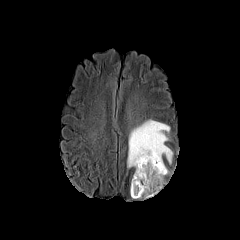
FLAIR magnetic resonance.
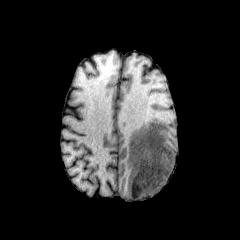
Same slice, T1-weighted MR.
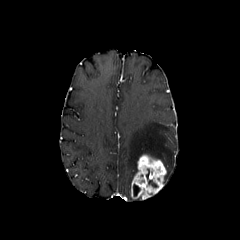
Same slice, post-contrast T1-weighted MR.
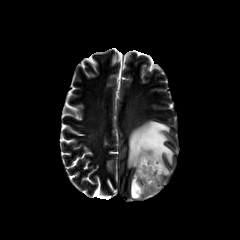
Same slice, T2-weighted MRI.
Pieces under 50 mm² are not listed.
Findings:
* enhancing tumor: (left=131, top=154, right=166, bottom=199)
* peritumoral edema: (left=127, top=119, right=173, bottom=174)
* necrotic tumor core: (left=133, top=184, right=139, bottom=196)